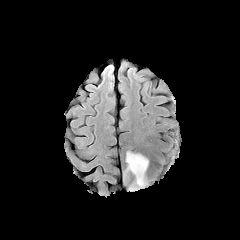
FLAIR MR.
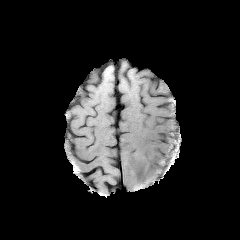
Same slice, T1-weighted MR.
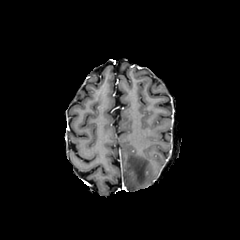
Post-contrast T1-weighted magnetic resonance of the same slice.
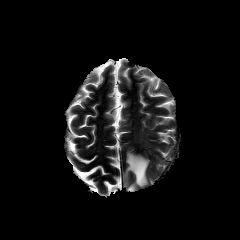
T2-weighted MR image.
240x240
peritumoral_edema:
  - bbox(124, 151, 148, 191)